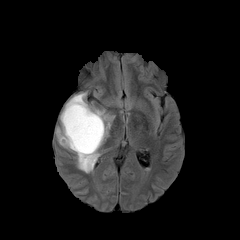
FLAIR MR.
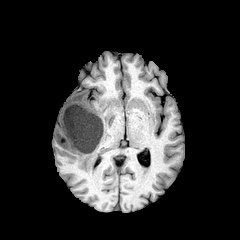
T1-weighted magnetic resonance of the same slice.
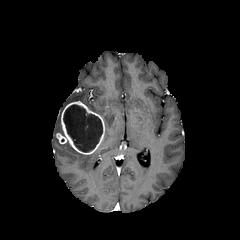
Post-contrast T1-weighted MRI.
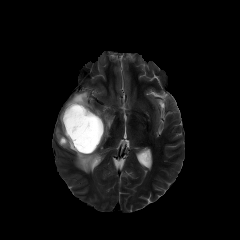
T2-weighted MRI.
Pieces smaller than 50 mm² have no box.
The necrotic tumor core is at {"x1": 63, "y1": 104, "x2": 102, "y2": 152}. The 2 largest peritumoral edema regions are bounded by {"x1": 66, "y1": 92, "x2": 111, "y2": 144}, {"x1": 62, "y1": 144, "x2": 98, "y2": 172}. The enhancing tumor appears at {"x1": 56, "y1": 101, "x2": 105, "y2": 154}.